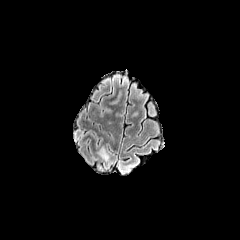
FLAIR MR image.
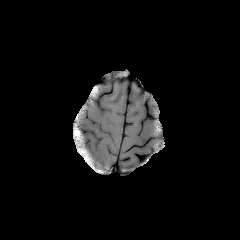
T1-weighted MR.
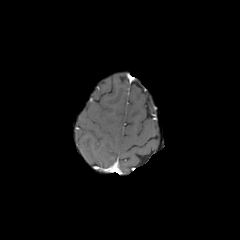
Same slice, post-contrast T1-weighted magnetic resonance.
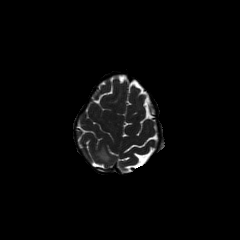
T2-weighted MR.
Axial plane; Brain
The peritumoral edema appears at 97,146,109,160.